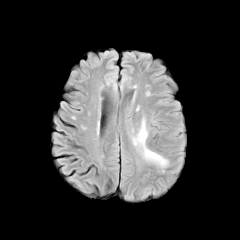
FLAIR magnetic resonance.
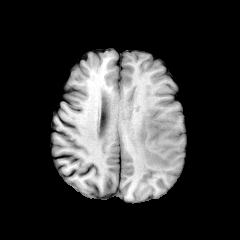
T1-weighted MRI.
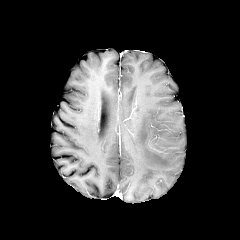
Same slice, post-contrast T1-weighted MR image.
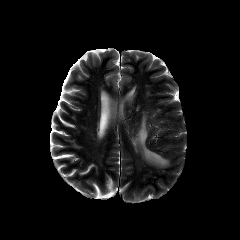
Same slice, T2-weighted magnetic resonance.
Brain | 240x240 px
peritumoral edema = left=132, top=118, right=168, bottom=167